FLAIR magnetic resonance.
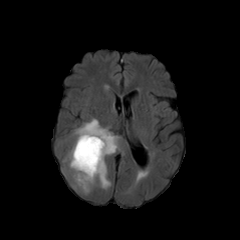
T1-weighted MR image.
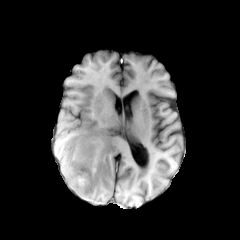
Post-contrast T1-weighted magnetic resonance.
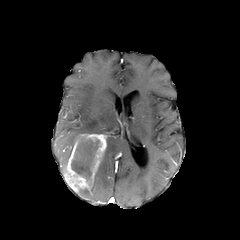
T2-weighted magnetic resonance.
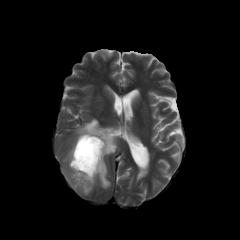
Image size 240x240
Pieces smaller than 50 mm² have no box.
peritumoral edema at (left=63, top=143, right=73, bottom=162), (left=74, top=118, right=118, bottom=189)
enhancing tumor at (left=64, top=133, right=107, bottom=191)
necrotic tumor core at (left=71, top=139, right=99, bottom=177)